Head | Slice 108 of 155
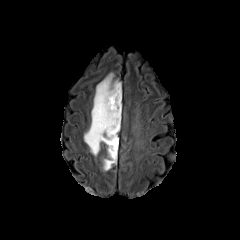
FLAIR MR image.
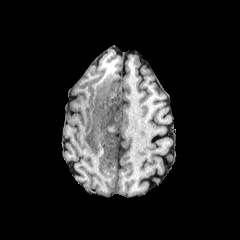
T1-weighted MRI.
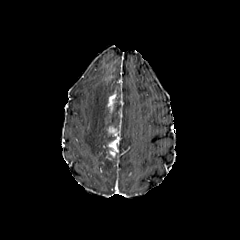
Post-contrast T1-weighted magnetic resonance.
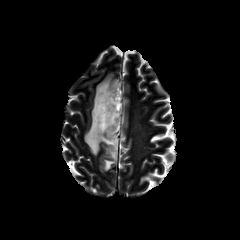
T2-weighted MR image.
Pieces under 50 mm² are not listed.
<segmentation>
  <enhancing_tumor>x1=105 y1=83 x2=122 y2=158</enhancing_tumor>
  <necrotic_tumor_core>x1=107 y1=97 x2=120 y2=131</necrotic_tumor_core>
  <peritumoral_edema>x1=101 y1=153 x2=117 y2=171, x1=84 y1=77 x2=118 y2=155</peritumoral_edema>
</segmentation>